FLAIR MR image.
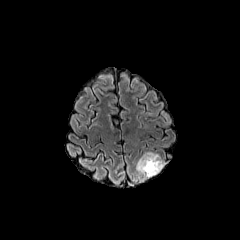
T1-weighted MR.
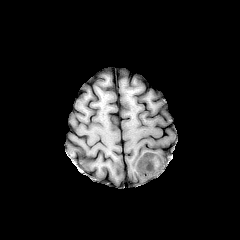
Post-contrast T1-weighted MRI.
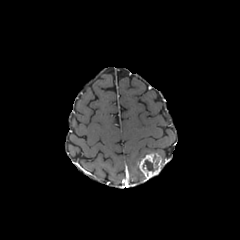
T2-weighted MRI.
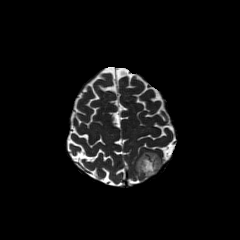
Axial plane
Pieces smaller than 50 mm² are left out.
necrotic tumor core: (143,159,158,171)
enhancing tumor: (138,153,162,178)
peritumoral edema: (136,152,153,179)